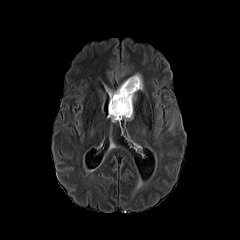
FLAIR MR.
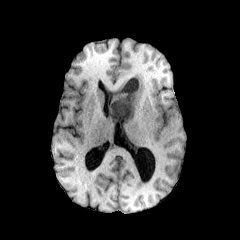
T1-weighted MRI.
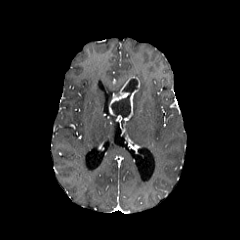
Same slice, post-contrast T1-weighted MR.
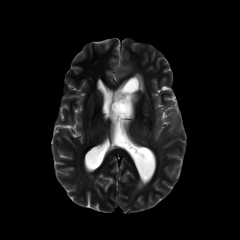
Same slice, T2-weighted magnetic resonance.
240x240 | Axial plane
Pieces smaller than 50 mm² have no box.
{"enhancing_tumor": ["bbox(109, 76, 139, 120)"], "peritumoral_edema": ["bbox(167, 114, 175, 131)", "bbox(134, 73, 143, 90)"], "necrotic_tumor_core": ["bbox(109, 79, 137, 119)"]}